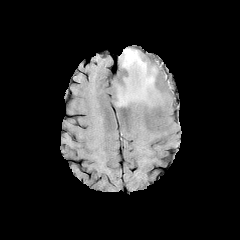
FLAIR MR.
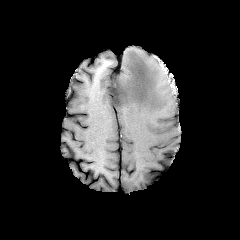
T1-weighted magnetic resonance of the same slice.
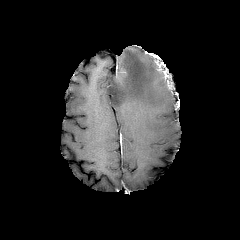
Same slice, post-contrast T1-weighted MR image.
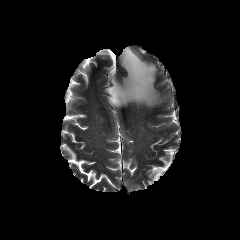
T2-weighted MR image.
Brain
peritumoral_edema:
  - 111,47,162,107